240x240 px
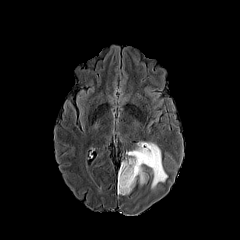
FLAIR MR image.
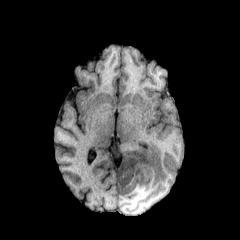
T1-weighted MRI.
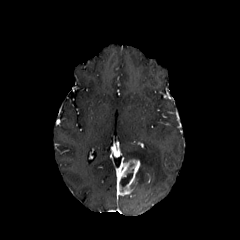
Same slice, post-contrast T1-weighted MRI.
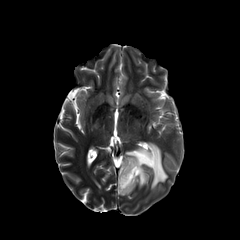
T2-weighted MRI.
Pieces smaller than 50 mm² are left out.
The peritumoral edema is located at 126 142 167 188. The enhancing tumor lies within 117 159 140 195. The largest necrotic tumor core region lies within 120 169 133 187.